FLAIR MR.
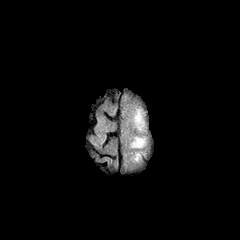
T1-weighted MR image.
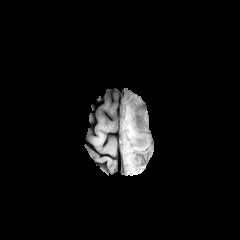
Post-contrast T1-weighted magnetic resonance.
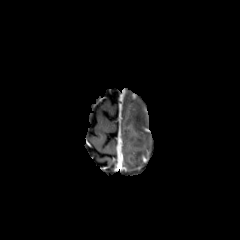
T2-weighted magnetic resonance.
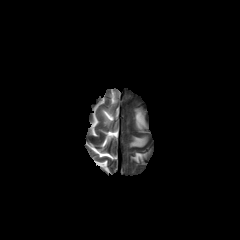
Image size 240x240
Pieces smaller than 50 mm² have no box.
<segmentation>
  <peritumoral_edema>[134, 109, 144, 130], [131, 137, 146, 147]</peritumoral_edema>
</segmentation>